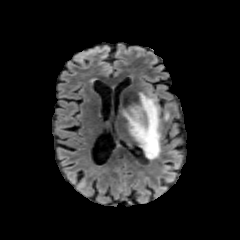
FLAIR MR image.
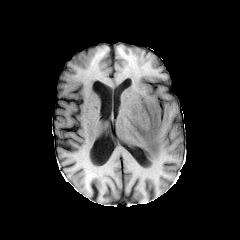
T1-weighted MRI.
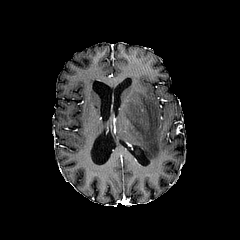
Post-contrast T1-weighted MRI.
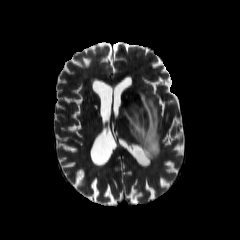
T2-weighted MR image of the same slice.
Brain, Axial plane
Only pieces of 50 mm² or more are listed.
The largest peritumoral edema region is bounded by <box>116,92,160,159</box>.